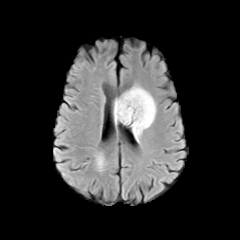
FLAIR MRI.
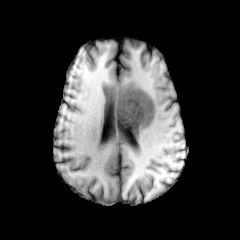
T1-weighted MR.
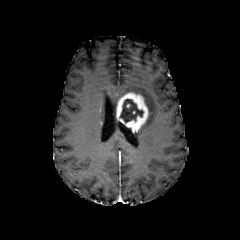
Same slice, post-contrast T1-weighted MRI.
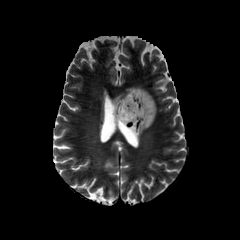
T2-weighted magnetic resonance.
Axial plane. Head.
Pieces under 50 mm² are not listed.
Annotated regions:
* peritumoral edema: bbox(114, 98, 119, 124); bbox(126, 87, 156, 141)
* necrotic tumor core: bbox(120, 99, 143, 122)
* enhancing tumor: bbox(116, 92, 148, 132)